FLAIR MRI.
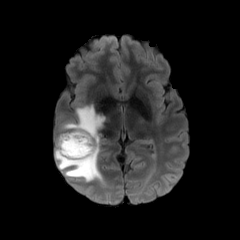
T1-weighted MR.
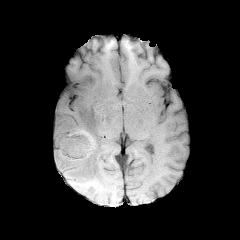
Post-contrast T1-weighted MRI.
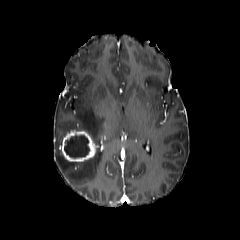
T2-weighted MRI.
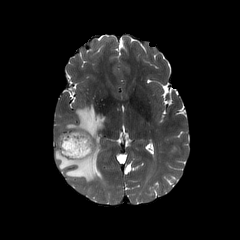
Axial view | 240x240 px
The peritumoral edema is bounded by (left=54, top=104, right=104, bottom=182). The necrotic tumor core is located at (left=64, top=135, right=89, bottom=157). The enhancing tumor lies within (left=59, top=130, right=98, bottom=162).